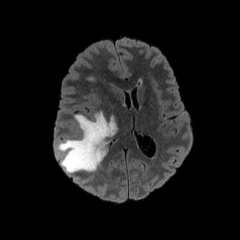
FLAIR MRI.
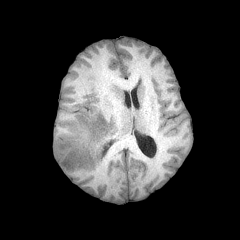
T1-weighted magnetic resonance.
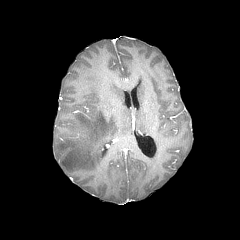
Post-contrast T1-weighted MRI.
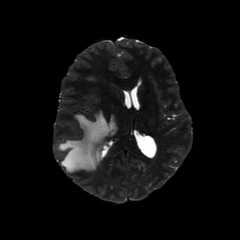
Same slice, T2-weighted magnetic resonance.
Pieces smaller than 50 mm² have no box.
Annotated regions:
• peritumoral edema: x1=56 y1=111 x2=117 y2=172